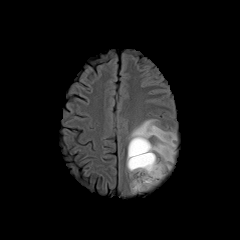
FLAIR MRI.
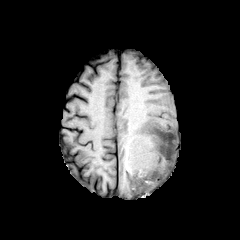
T1-weighted MR of the same slice.
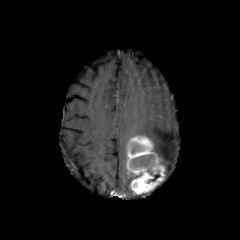
Post-contrast T1-weighted MRI.
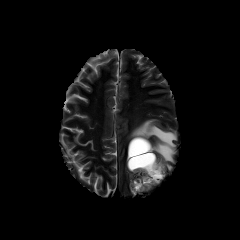
T2-weighted magnetic resonance.
Head, Axial slice, 240x240 px
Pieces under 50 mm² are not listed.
enhancing tumor: [126, 135, 165, 194] | peritumoral edema: [128, 119, 177, 170] | necrotic tumor core: [145, 172, 159, 184], [131, 155, 153, 166]